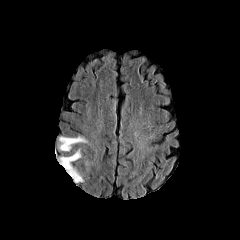
FLAIR MR image.
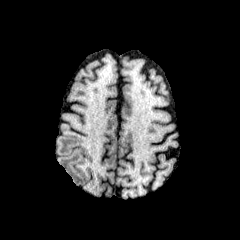
T1-weighted MR.
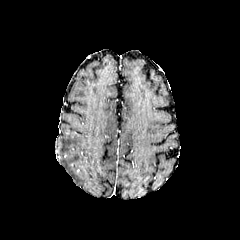
Same slice, post-contrast T1-weighted MRI.
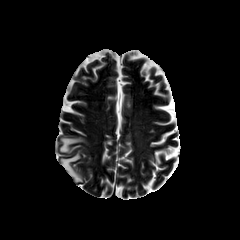
T2-weighted MRI.
240x240 px | Brain
peritumoral_edema:
  - l=59, t=136, r=87, b=151
  - l=59, t=150, r=83, b=182